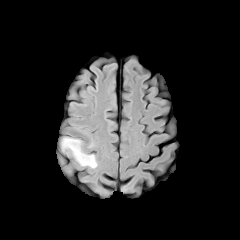
FLAIR MR.
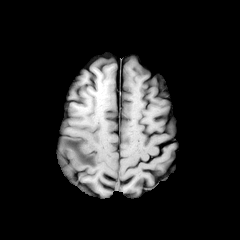
T1-weighted magnetic resonance of the same slice.
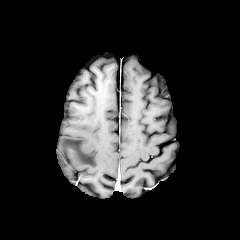
Post-contrast T1-weighted MRI of the same slice.
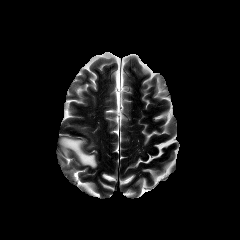
T2-weighted MR.
Axial plane, 240x240 px
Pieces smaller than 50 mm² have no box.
peritumoral_edema:
  - left=60, top=160, right=74, bottom=177
  - left=61, top=137, right=97, bottom=168